Head. Image width 240 mm.
FLAIR MR image.
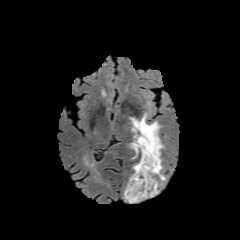
T1-weighted MR.
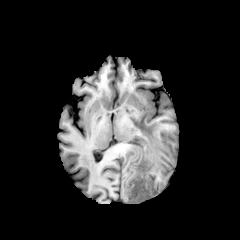
Post-contrast T1-weighted MR image.
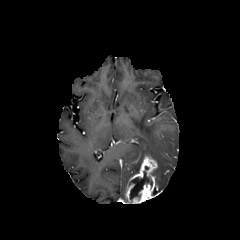
T2-weighted MR.
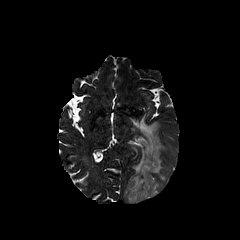
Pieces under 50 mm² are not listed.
• peritumoral edema: [131, 114, 165, 180]
• necrotic tumor core: [129, 171, 152, 199]
• enhancing tumor: [125, 155, 157, 203]